Head.
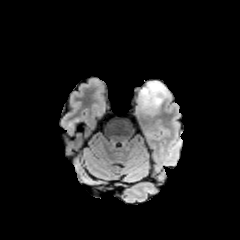
FLAIR MR.
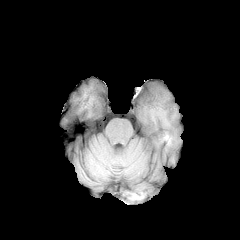
T1-weighted MRI.
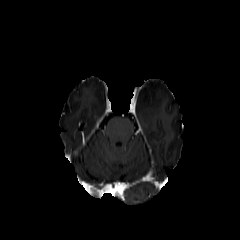
Same slice, post-contrast T1-weighted MRI.
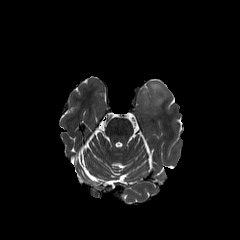
T2-weighted magnetic resonance of the same slice.
Annotated regions:
• peritumoral edema: (137, 82, 168, 112)